FLAIR MRI.
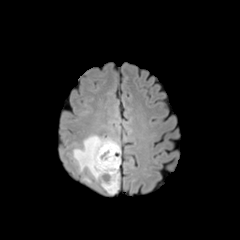
T1-weighted MR image.
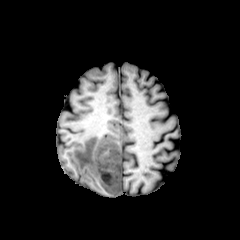
Post-contrast T1-weighted MR image.
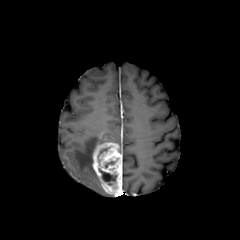
T2-weighted MR.
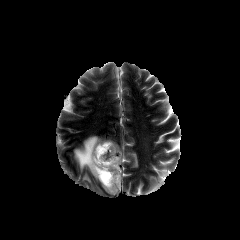
Head, Axial slice
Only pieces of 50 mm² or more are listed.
{"necrotic_tumor_core": ["left=99, top=168, right=116, bottom=185"], "peritumoral_edema": ["left=73, top=135, right=116, bottom=180"], "enhancing_tumor": ["left=92, top=142, right=121, bottom=194"]}